FLAIR MR image.
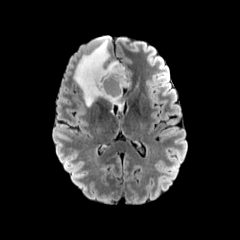
T1-weighted magnetic resonance.
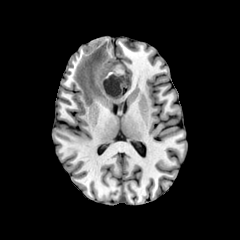
Post-contrast T1-weighted MR image.
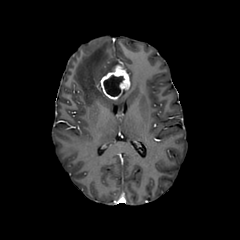
T2-weighted magnetic resonance.
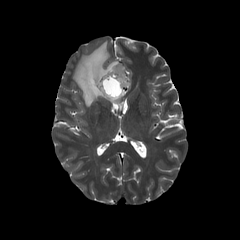
Brain
The peritumoral edema lies within box(73, 37, 122, 109). The enhancing tumor is at box(100, 65, 130, 99). The necrotic tumor core is at box(103, 75, 123, 96).